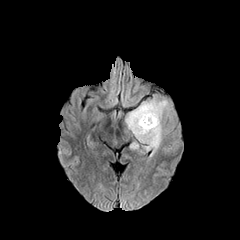
FLAIR MR image.
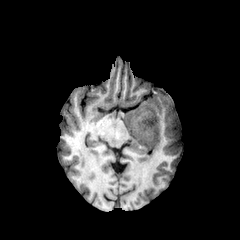
T1-weighted MR image of the same slice.
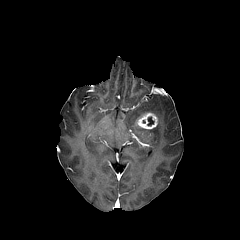
Same slice, post-contrast T1-weighted MR.
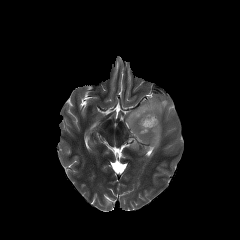
Same slice, T2-weighted magnetic resonance.
Head, Image size 240x240
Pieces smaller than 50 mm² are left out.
<segmentation>
  <necrotic_tumor_core>147:116:154:125</necrotic_tumor_core>
  <enhancing_tumor>136:112:157:129</enhancing_tumor>
  <peritumoral_edema>125:96:172:156, 130:141:139:149</peritumoral_edema>
</segmentation>